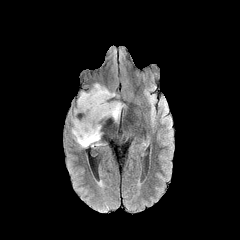
FLAIR MR image.
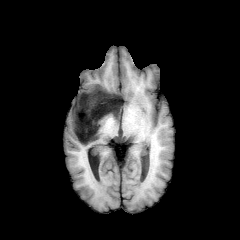
T1-weighted MRI.
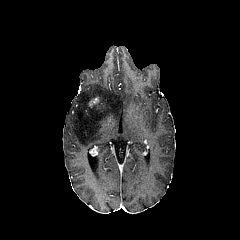
Post-contrast T1-weighted MRI of the same slice.
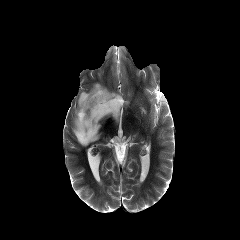
T2-weighted magnetic resonance of the same slice.
The enhancing tumor is located at box(89, 97, 98, 107). The peritumoral edema is located at box(70, 83, 124, 147).